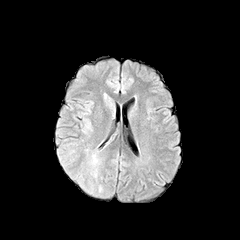
FLAIR MR.
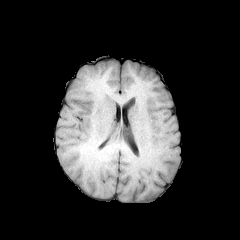
T1-weighted MR.
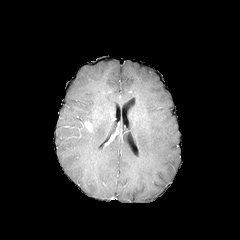
Post-contrast T1-weighted MR image.
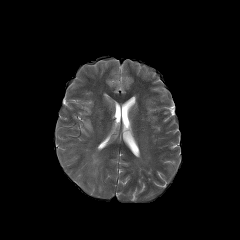
T2-weighted MR image.
Brain
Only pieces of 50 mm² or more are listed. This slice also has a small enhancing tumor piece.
<segmentation>
  <peritumoral_edema>bbox=[81, 119, 92, 133]</peritumoral_edema>
</segmentation>